Slice 55 of 155 | Image size 240x240 | Image width 240 mm, 1.00 mm slice spacing
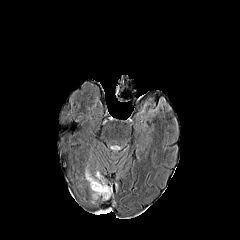
FLAIR MRI.
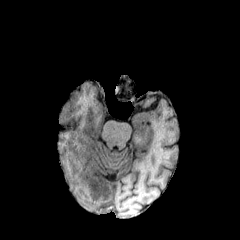
T1-weighted MRI.
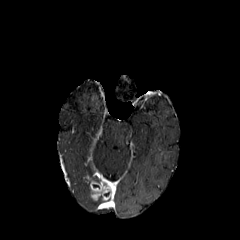
Post-contrast T1-weighted MR.
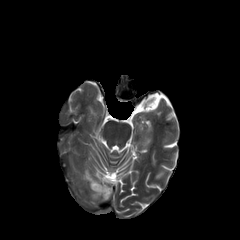
Same slice, T2-weighted MR image.
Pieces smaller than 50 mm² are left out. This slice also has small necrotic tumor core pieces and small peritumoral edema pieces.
enhancing_tumor:
  - left=86, top=170, right=112, bottom=200